Slice 66 of 155 | Image covers 240 mm x 240 mm | Brain
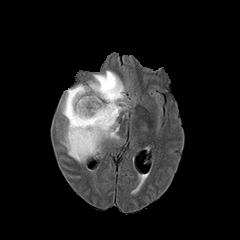
FLAIR MR.
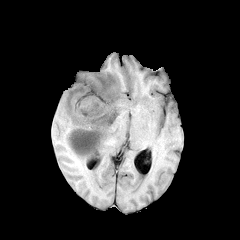
T1-weighted MRI of the same slice.
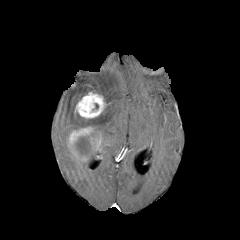
Post-contrast T1-weighted MR.
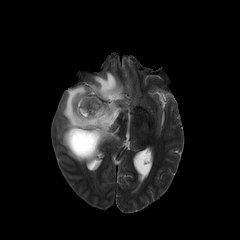
Same slice, T2-weighted magnetic resonance.
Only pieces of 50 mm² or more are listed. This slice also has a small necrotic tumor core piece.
peritumoral edema at x1=61 y1=70 x2=128 y2=162
enhancing tumor at x1=75 y1=90 x2=106 y2=119, x1=67 y1=126 x2=103 y2=160